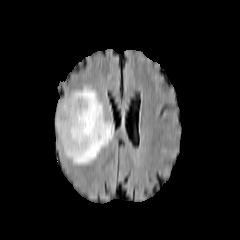
FLAIR magnetic resonance.
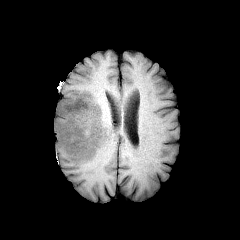
T1-weighted MR image of the same slice.
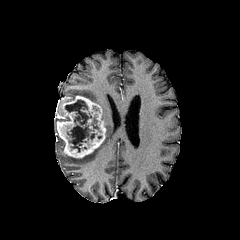
Post-contrast T1-weighted magnetic resonance.
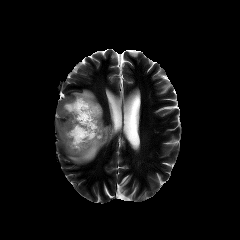
T2-weighted MRI.
Axial view; Brain
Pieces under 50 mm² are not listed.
enhancing tumor: rect(55, 95, 106, 157) | peritumoral edema: rect(65, 88, 113, 164) | necrotic tumor core: rect(65, 100, 99, 152)